Axial view
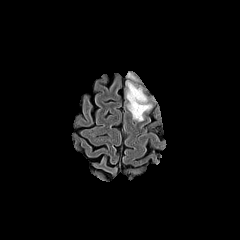
FLAIR MR image.
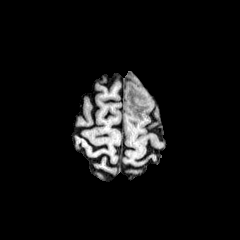
T1-weighted magnetic resonance of the same slice.
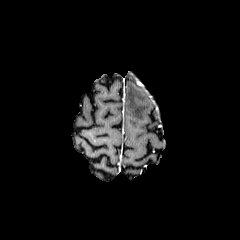
Post-contrast T1-weighted MRI.
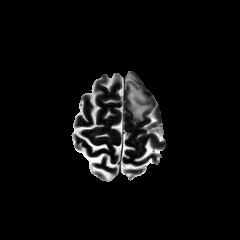
T2-weighted MR image.
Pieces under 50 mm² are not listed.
The largest peritumoral edema region is at rect(127, 82, 151, 121).